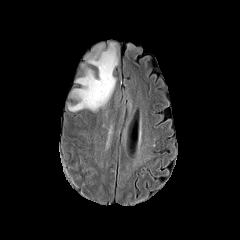
FLAIR MRI.
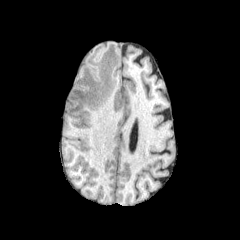
T1-weighted magnetic resonance.
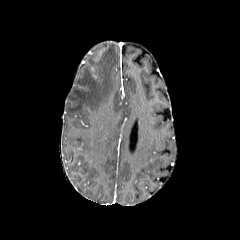
Post-contrast T1-weighted MRI.
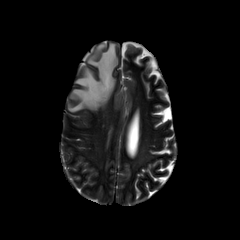
T2-weighted MR.
Head. Axial plane.
The peritumoral edema is at 68, 43, 117, 111.